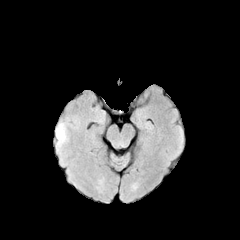
FLAIR MR image.
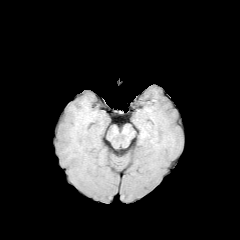
T1-weighted magnetic resonance of the same slice.
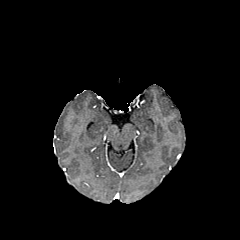
Post-contrast T1-weighted MR image.
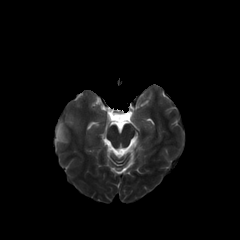
T2-weighted MR.
Image size 240x240. Axial plane. Head.
peritumoral edema: [55, 116, 79, 153]